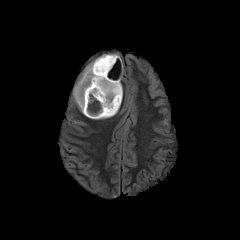
FLAIR MRI.
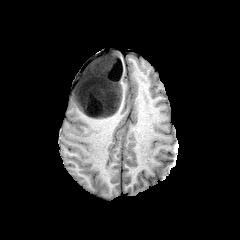
T1-weighted MRI of the same slice.
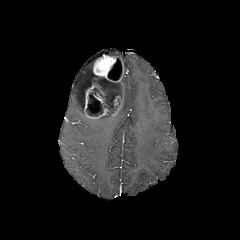
Post-contrast T1-weighted MR image of the same slice.
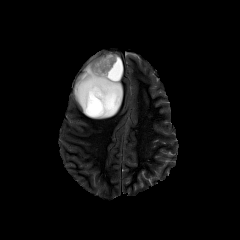
T2-weighted magnetic resonance of the same slice.
Axial view
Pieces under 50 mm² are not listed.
peritumoral edema: (x1=119, y1=81, x2=123, y2=101), (x1=73, y1=58, x2=97, y2=114)
necrotic tumor core: (x1=108, y1=58, x2=122, y2=80), (x1=86, y1=73, x2=120, y2=116)
enhancing tumor: (x1=93, y1=54, x2=123, y2=82), (x1=84, y1=83, x2=109, y2=118), (x1=112, y1=96, x2=120, y2=115)